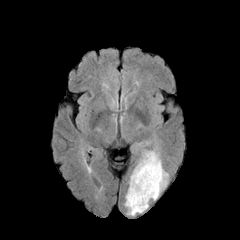
FLAIR MR image.
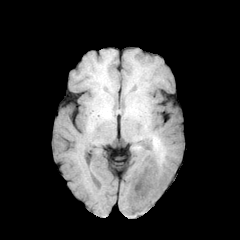
T1-weighted magnetic resonance of the same slice.
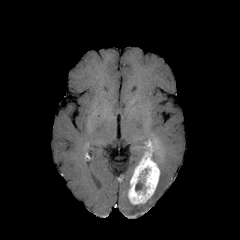
Post-contrast T1-weighted MRI of the same slice.
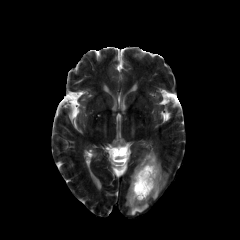
T2-weighted magnetic resonance.
Head
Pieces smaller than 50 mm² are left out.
enhancing tumor — (128, 141, 159, 204)
necrotic tumor core — (135, 181, 143, 191)
peritumoral edema — (151, 150, 168, 199), (125, 193, 149, 215)